FLAIR MRI.
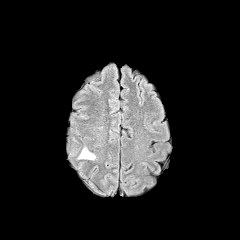
T1-weighted MR image.
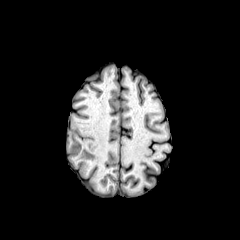
Post-contrast T1-weighted MRI.
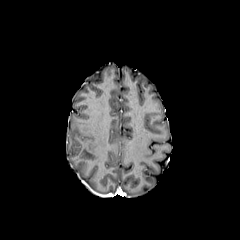
T2-weighted MR image.
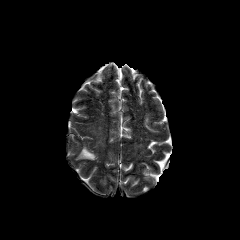
Brain; Axial slice
peritumoral edema — l=79, t=148, r=95, b=159